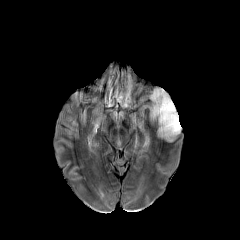
FLAIR MR image.
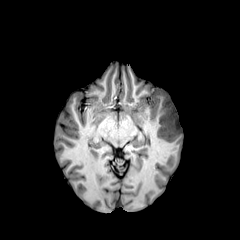
Same slice, T1-weighted MRI.
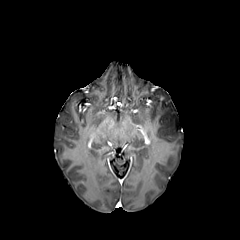
Post-contrast T1-weighted MR image of the same slice.
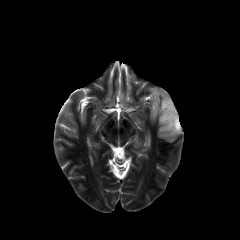
T2-weighted MR image.
Axial view; Brain; Image size 240x240
The peritumoral edema is at <bbox>151, 89, 181, 140</bbox>.